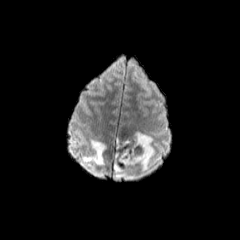
FLAIR magnetic resonance.
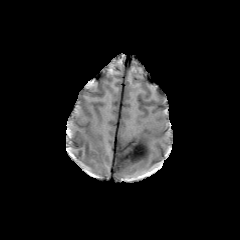
T1-weighted magnetic resonance.
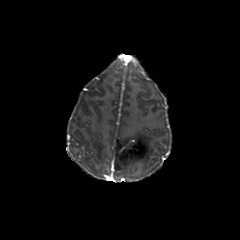
Post-contrast T1-weighted MR image of the same slice.
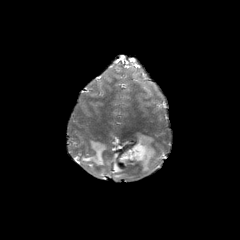
T2-weighted MRI.
Axial slice
peritumoral_edema:
  - bbox=[112, 132, 154, 178]
  - bbox=[81, 139, 105, 167]